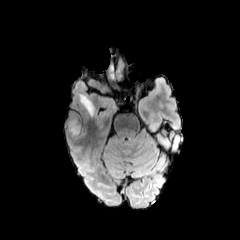
FLAIR MR image.
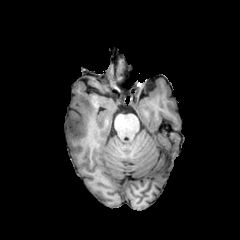
T1-weighted MR of the same slice.
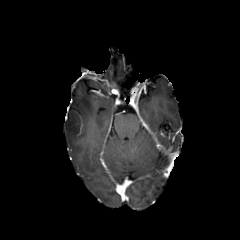
Same slice, post-contrast T1-weighted MRI.
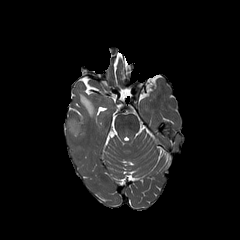
T2-weighted MR image.
Brain. Axial plane.
peritumoral edema — box(66, 120, 80, 138); box(79, 94, 94, 116)